Image width 240 mm, 1.00 mm slice spacing, Brain, Image size 240x240, Slice 80 of 155
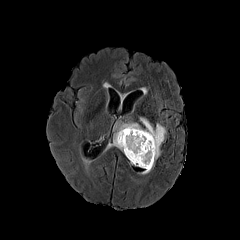
FLAIR magnetic resonance.
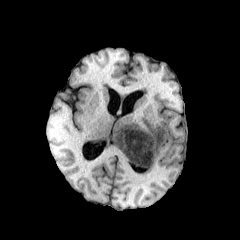
T1-weighted MR of the same slice.
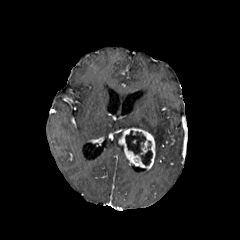
Post-contrast T1-weighted MRI.
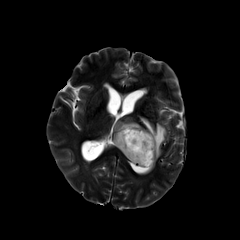
T2-weighted MR.
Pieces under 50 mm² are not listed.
<segmentation>
  <peritumoral_edema>[109,132,123,151], [114,122,141,130], [140,117,166,160]</peritumoral_edema>
  <necrotic_tumor_core>[125,130,152,165]</necrotic_tumor_core>
  <enhancing_tumor>[118,127,155,169]</enhancing_tumor>
</segmentation>